Slice index 120. Brain. Image width 240 mm. Axial plane. 240x240 px.
FLAIR MR image.
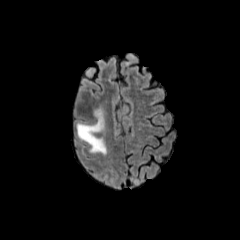
T1-weighted MR image.
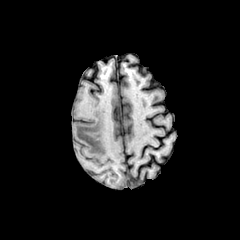
Post-contrast T1-weighted MR.
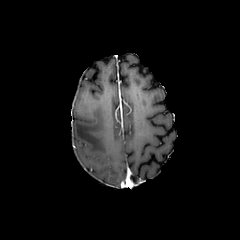
T2-weighted magnetic resonance.
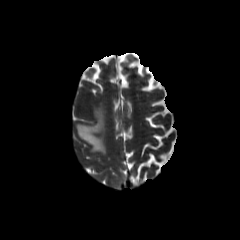
Annotated regions:
- peritumoral edema: x1=76, y1=103, x2=107, y2=156